Slice index 118, 240x240 px, Image width 240 mm
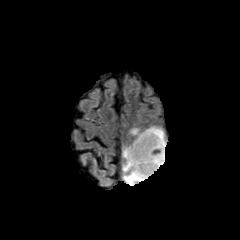
FLAIR MR.
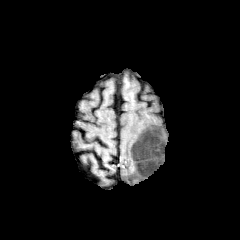
Same slice, T1-weighted MR image.
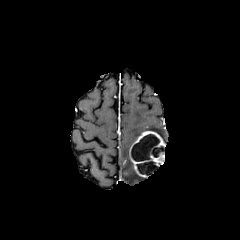
Post-contrast T1-weighted MRI.
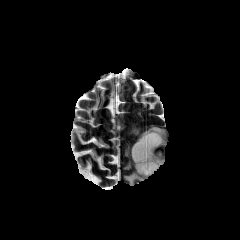
T2-weighted MR image.
2 necrotic tumor core regions appear at (131, 134, 164, 161), (137, 161, 157, 175). 3 peritumoral edema regions are located at (123, 145, 147, 185), (145, 126, 166, 144), (130, 128, 141, 137). The enhancing tumor is at (129, 131, 165, 177).